FLAIR magnetic resonance.
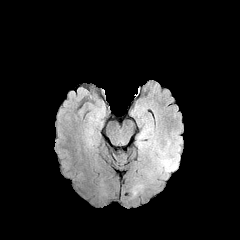
T1-weighted magnetic resonance.
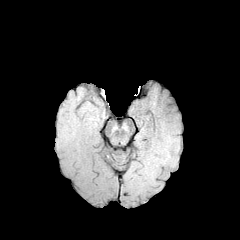
Post-contrast T1-weighted MR.
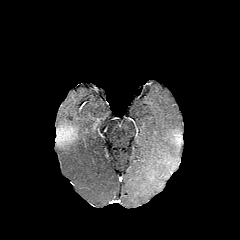
T2-weighted magnetic resonance.
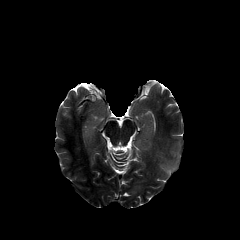
Axial view | 240x240 | Brain
{"peritumoral_edema": ["(left=135, top=129, right=182, bottom=184)"]}